FLAIR MR image.
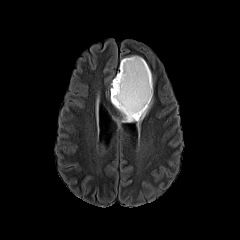
T1-weighted MR image.
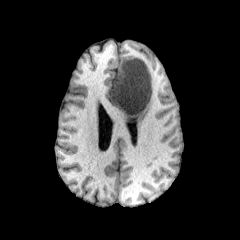
Post-contrast T1-weighted MRI.
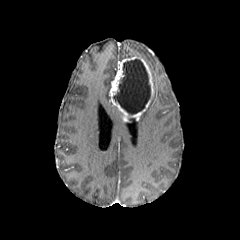
T2-weighted MRI.
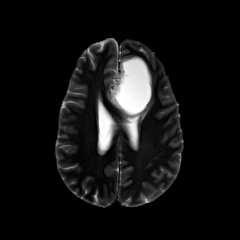
Image size 240x240.
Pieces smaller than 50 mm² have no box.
The largest peritumoral edema region is bounded by {"x1": 115, "y1": 97, "x2": 152, "y2": 129}. The largest necrotic tumor core region is at {"x1": 113, "y1": 59, "x2": 150, "y2": 114}. The enhancing tumor is at {"x1": 110, "y1": 56, "x2": 153, "y2": 121}.